Axial view, Brain, Image width 240 mm
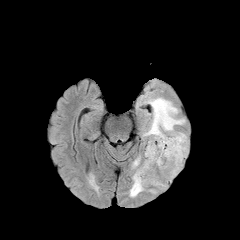
FLAIR MR image.
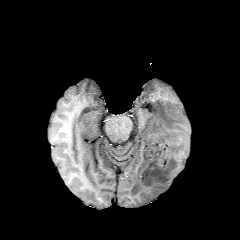
T1-weighted MR.
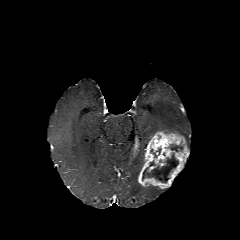
Post-contrast T1-weighted magnetic resonance.
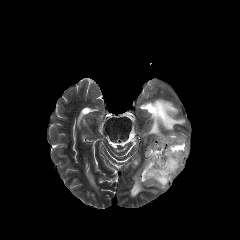
Same slice, T2-weighted MR.
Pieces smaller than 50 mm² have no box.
Segmented structures:
- necrotic tumor core: <bbox>170, 145, 182, 151</bbox>, <bbox>142, 154, 178, 182</bbox>
- enhancing tumor: <bbox>138, 131, 188, 188</bbox>
- peritumoral edema: <bbox>129, 167, 145, 196</bbox>, <bbox>143, 97, 187, 145</bbox>, <bbox>132, 156, 140, 168</bbox>